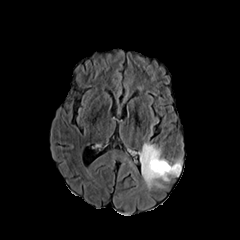
FLAIR MR.
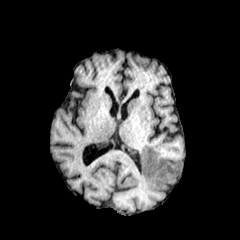
T1-weighted MR.
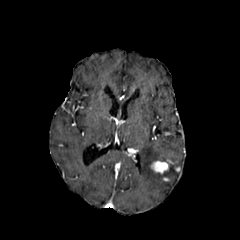
Post-contrast T1-weighted MRI.
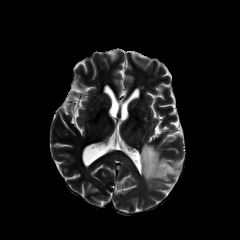
T2-weighted MRI.
Head. Axial plane. 240x240 px.
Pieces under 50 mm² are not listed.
Annotated regions:
• enhancing tumor: x1=151, y1=160, x2=168, y2=173
• peritumoral edema: x1=139, y1=143, x2=181, y2=188